Slice index 65, Head
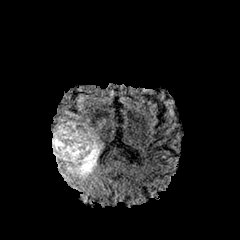
FLAIR MR image.
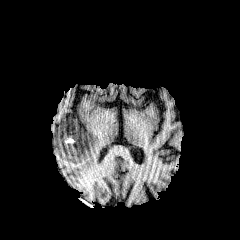
T1-weighted MR.
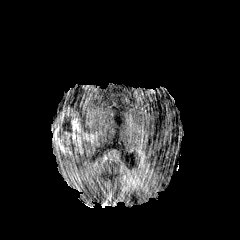
Post-contrast T1-weighted MR image.
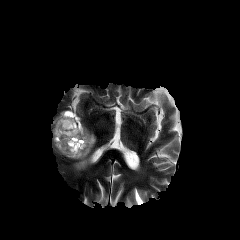
T2-weighted magnetic resonance.
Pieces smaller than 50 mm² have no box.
Annotated regions:
• necrotic tumor core: l=64, t=136, r=75, b=150; l=58, t=121, r=71, b=137
• enhancing tumor: l=52, t=111, r=96, b=156
• peritumoral edema: l=52, t=137, r=101, b=176